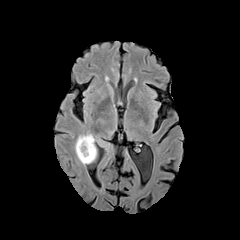
FLAIR MR.
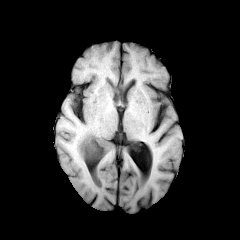
T1-weighted MR image of the same slice.
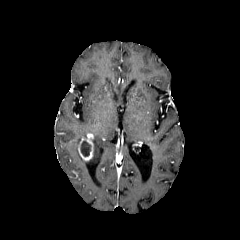
Same slice, post-contrast T1-weighted MR image.
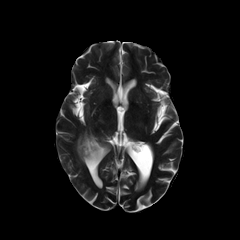
T2-weighted magnetic resonance.
Axial plane
Segmented structures:
• necrotic tumor core: <bbox>80, 140, 90, 156</bbox>
• peritumoral edema: <bbox>75, 129, 112, 164</bbox>
• enhancing tumor: <bbox>78, 138, 93, 161</bbox>